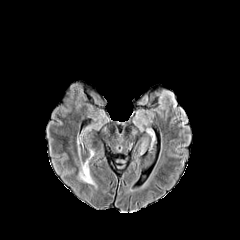
FLAIR MR.
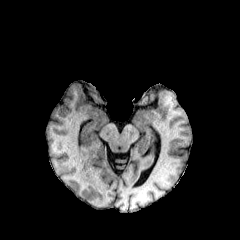
Same slice, T1-weighted MR image.
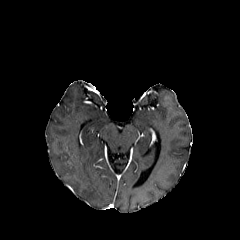
Same slice, post-contrast T1-weighted MR image.
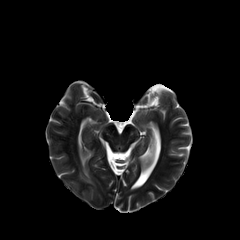
T2-weighted MR image.
Brain
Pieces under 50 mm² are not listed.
Segmented structures:
- peritumoral edema: <box>80,162,93,183</box>